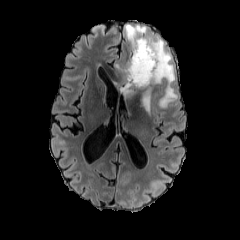
FLAIR MR image.
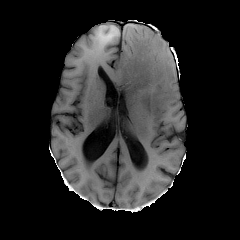
T1-weighted MR.
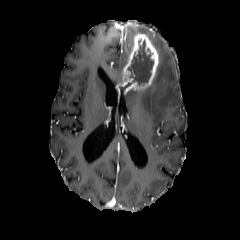
Post-contrast T1-weighted MR image.
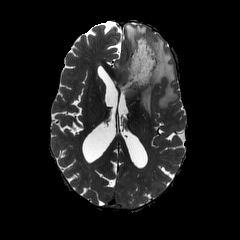
Same slice, T2-weighted MRI.
240x240 px; Brain
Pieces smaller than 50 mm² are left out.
necrotic tumor core: x1=128, y1=40, x2=153, y2=85
peritumoral edema: x1=124, y1=23, x2=177, y2=116
enhancing tumor: x1=120, y1=32, x2=160, y2=92